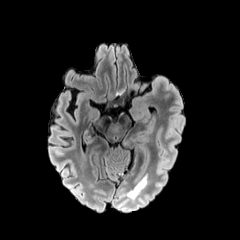
FLAIR MR.
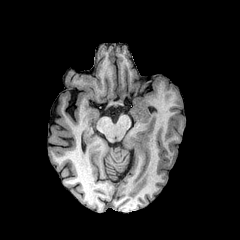
Same slice, T1-weighted MR.
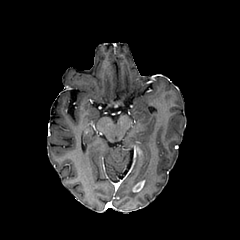
Post-contrast T1-weighted magnetic resonance.
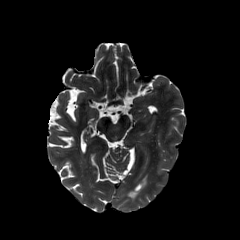
T2-weighted MR of the same slice.
Head
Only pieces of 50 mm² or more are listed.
- enhancing tumor: [133, 180, 144, 192]
- peritumoral edema: [128, 188, 138, 198]